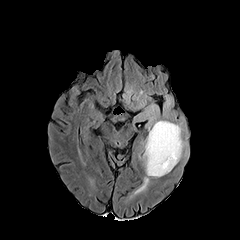
FLAIR MR.
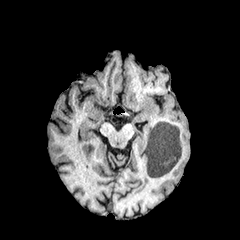
T1-weighted magnetic resonance.
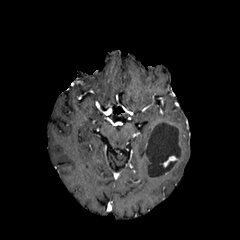
Same slice, post-contrast T1-weighted magnetic resonance.
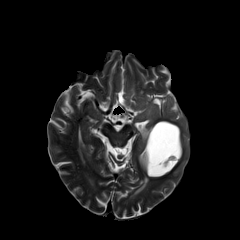
T2-weighted MR.
Axial plane.
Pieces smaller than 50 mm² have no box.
necrotic_tumor_core:
  - (left=146, top=122, right=180, bottom=175)
enhancing_tumor:
  - (left=160, top=155, right=178, bottom=167)
peritumoral_edema:
  - (left=172, top=123, right=186, bottom=160)
  - (left=139, top=105, right=168, bottom=177)
  - (left=140, top=177, right=148, bottom=190)